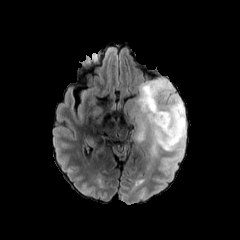
FLAIR MR.
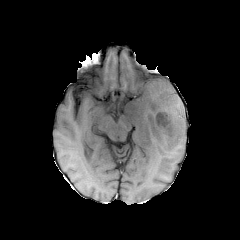
Same slice, T1-weighted MRI.
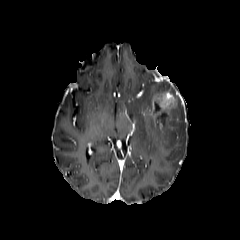
Post-contrast T1-weighted magnetic resonance.
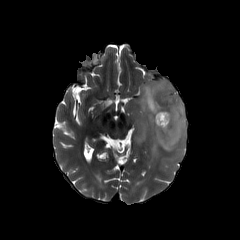
Same slice, T2-weighted magnetic resonance.
Image size 240x240 | Brain | Axial plane
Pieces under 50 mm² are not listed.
Annotated regions:
- peritumoral edema: rect(130, 78, 186, 155)
- necrotic tumor core: rect(160, 112, 167, 123)
- enhancing tumor: rect(151, 90, 177, 127)